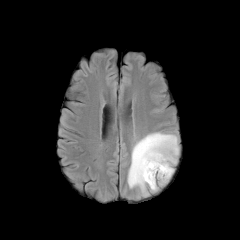
FLAIR MR.
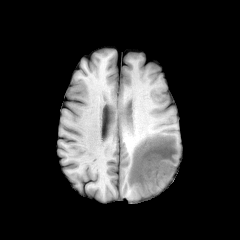
T1-weighted MRI.
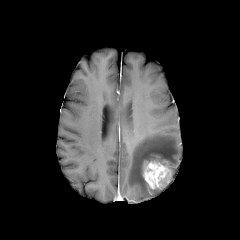
Post-contrast T1-weighted MR.
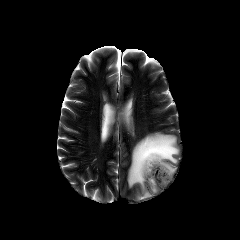
T2-weighted MRI.
{
  "peritumoral_edema": [
    "x1=127, y1=132, x2=179, y2=196"
  ],
  "enhancing_tumor": [
    "x1=143, y1=157, x2=171, y2=189"
  ]
}